Head. Axial plane. Slice 125/155. Image size 240x240.
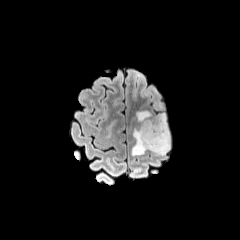
FLAIR magnetic resonance.
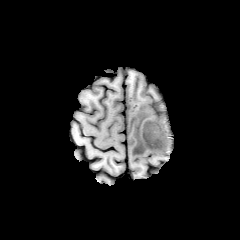
Same slice, T1-weighted magnetic resonance.
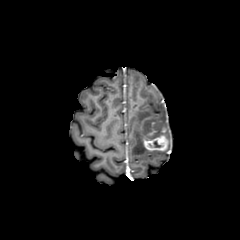
Post-contrast T1-weighted MR.
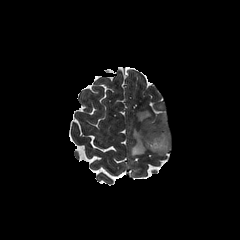
T2-weighted magnetic resonance of the same slice.
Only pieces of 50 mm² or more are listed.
• necrotic tumor core: [148, 141, 163, 147]
• enhancing tumor: [143, 128, 169, 151]
• peritumoral edema: [131, 110, 170, 155]